FLAIR magnetic resonance.
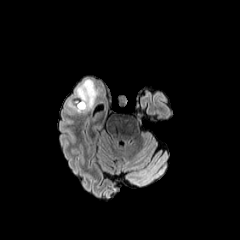
T1-weighted MR.
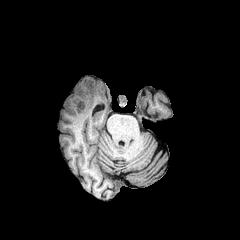
Post-contrast T1-weighted magnetic resonance.
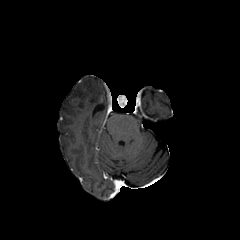
T2-weighted magnetic resonance.
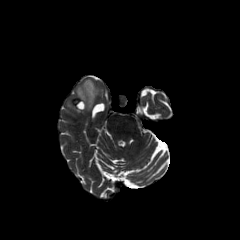
Axial view | Brain
{
  "peritumoral_edema": [
    "68 79 97 113"
  ]
}